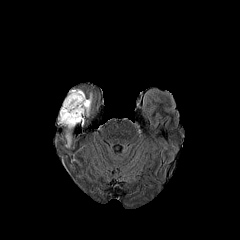
FLAIR MR image.
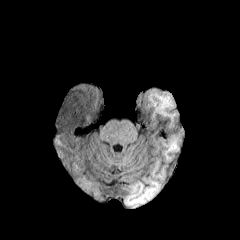
Same slice, T1-weighted MR image.
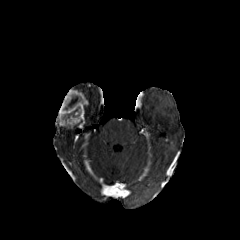
Post-contrast T1-weighted MR image.
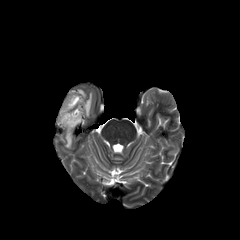
T2-weighted magnetic resonance.
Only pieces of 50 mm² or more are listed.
peritumoral edema: bounding box {"x1": 86, "y1": 93, "x2": 92, "y2": 116}, {"x1": 65, "y1": 129, "x2": 71, "y2": 148}
necrotic tumor core: bounding box {"x1": 68, "y1": 96, "x2": 78, "y2": 107}
enhancing tumor: bounding box {"x1": 56, "y1": 89, "x2": 88, "y2": 128}